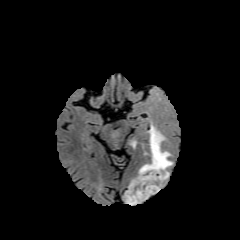
FLAIR MR.
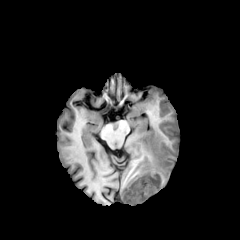
T1-weighted MR image.
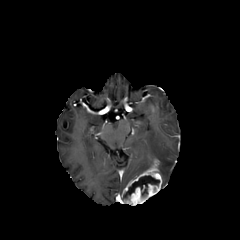
Same slice, post-contrast T1-weighted MRI.
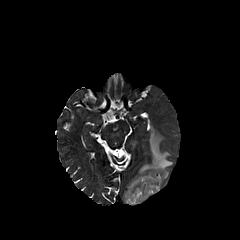
Same slice, T2-weighted magnetic resonance.
Axial slice. Head.
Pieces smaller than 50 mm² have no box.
enhancing_tumor:
  - box(123, 158, 162, 205)
necrotic_tumor_core:
  - box(124, 175, 159, 198)
peritumoral_edema:
  - box(138, 124, 172, 181)